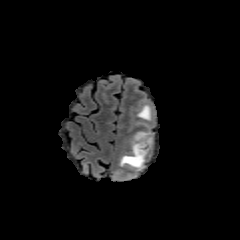
FLAIR magnetic resonance.
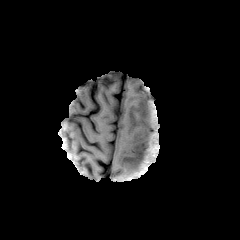
Same slice, T1-weighted magnetic resonance.
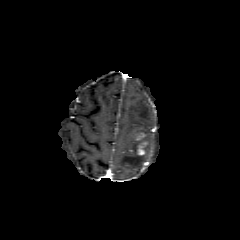
Post-contrast T1-weighted MRI.
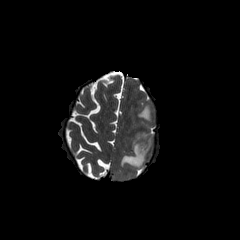
T2-weighted MRI.
240x240, Brain
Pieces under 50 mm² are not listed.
The largest peritumoral edema region is located at x1=120, y1=105, x2=153, y2=169. 2 enhancing tumor regions appear at x1=136, y1=140, x2=148, y2=155; x1=134, y1=132, x2=147, y2=141.